FLAIR MR image.
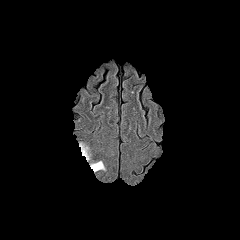
T1-weighted magnetic resonance.
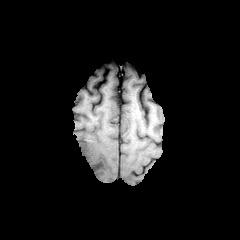
Post-contrast T1-weighted magnetic resonance.
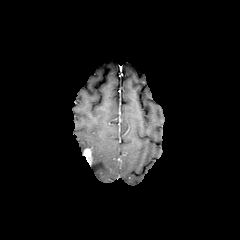
T2-weighted MRI.
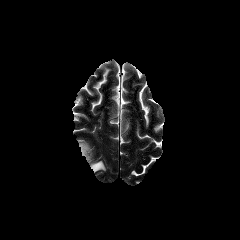
Head; 240x240
Annotated regions:
- enhancing tumor: bbox=[83, 149, 91, 164]
- peritumoral edema: bbox=[79, 143, 89, 155]; bbox=[90, 160, 105, 171]